FLAIR MR image.
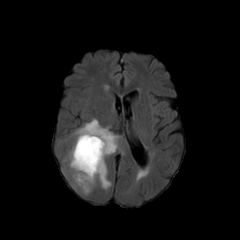
T1-weighted MR image.
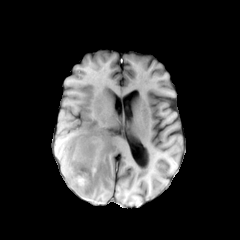
Post-contrast T1-weighted magnetic resonance.
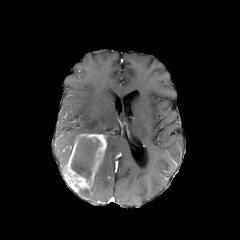
T2-weighted MR image.
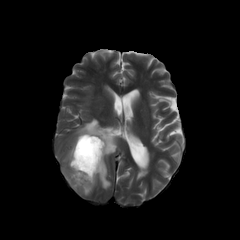
240x240.
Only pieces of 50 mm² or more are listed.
The largest peritumoral edema region is at (73,118,119,191). The enhancing tumor lies within (63,133,106,191). The necrotic tumor core is located at (71,137,99,178).